FLAIR MR image.
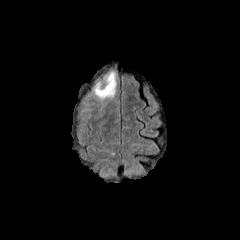
T1-weighted MRI.
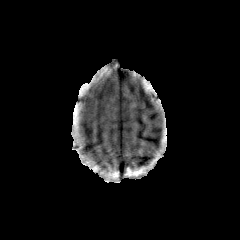
Post-contrast T1-weighted MRI.
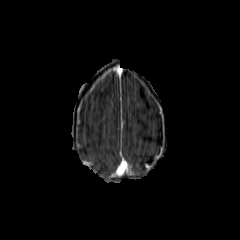
T2-weighted MRI.
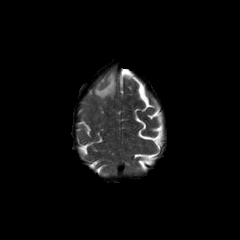
Axial slice
peritumoral_edema:
  - left=94, top=71, right=116, bottom=99